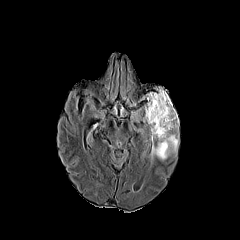
FLAIR MRI.
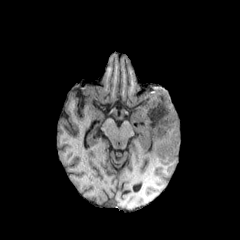
Same slice, T1-weighted MR.
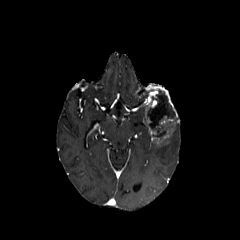
Post-contrast T1-weighted MR image.
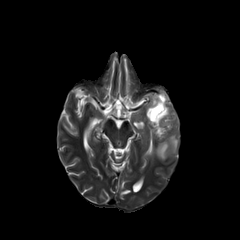
Same slice, T2-weighted MRI.
Head.
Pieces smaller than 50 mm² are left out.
peritumoral edema = <box>155,123,178,159</box>
necrotic tumor core = <box>147,90,175,137</box>
enhancing tumor = <box>144,86,178,145</box>